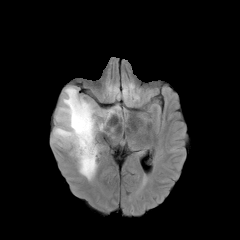
FLAIR MR.
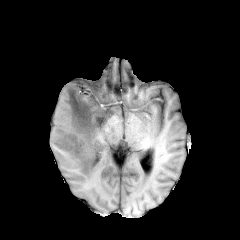
T1-weighted magnetic resonance of the same slice.
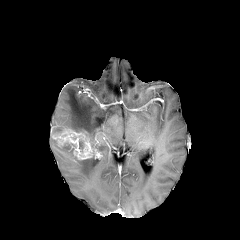
Post-contrast T1-weighted MR.
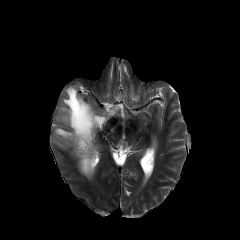
Same slice, T2-weighted magnetic resonance.
Axial plane, 240x240
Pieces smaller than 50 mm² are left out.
enhancing tumor: bounding box left=53, top=129, right=94, bottom=159
peritumoral edema: bounding box left=53, top=86, right=96, bottom=145; left=77, top=156, right=96, bottom=180